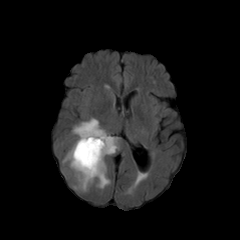
FLAIR MRI.
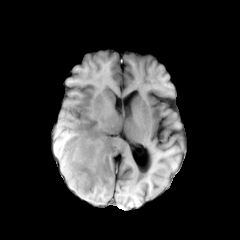
T1-weighted MRI.
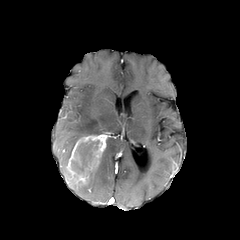
Post-contrast T1-weighted magnetic resonance.
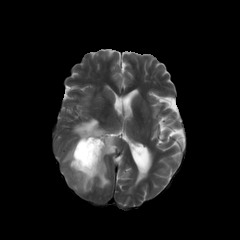
T2-weighted MRI.
Brain
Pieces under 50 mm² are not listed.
- enhancing tumor: (67,133,108,187)
- necrotic tumor core: (72,140,99,171)
- peritumoral edema: (63,142,75,164), (72,118,108,140), (69,135,118,191)